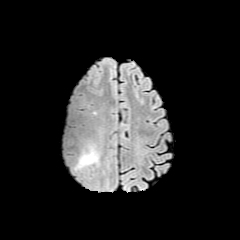
FLAIR magnetic resonance.
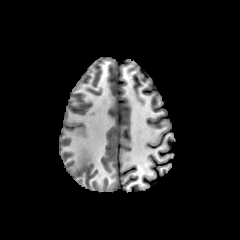
T1-weighted MRI.
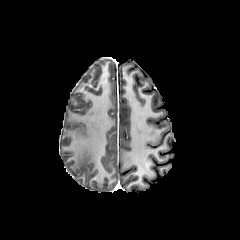
Post-contrast T1-weighted MR.
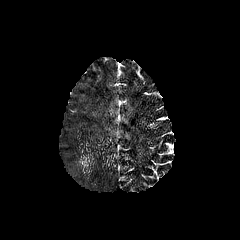
T2-weighted MR.
240x240 px; Brain
The peritumoral edema is at bbox(76, 145, 101, 168).